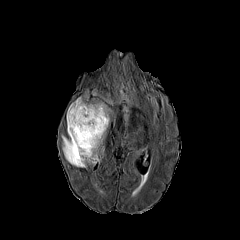
FLAIR MR image.
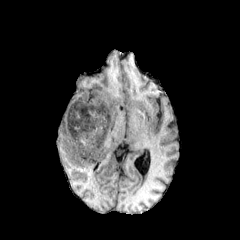
Same slice, T1-weighted MR.
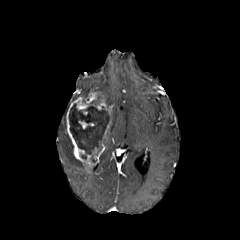
Same slice, post-contrast T1-weighted magnetic resonance.
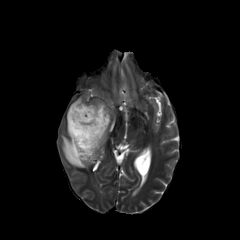
T2-weighted MR.
Axial plane. 240x240. Brain.
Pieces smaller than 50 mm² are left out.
The peritumoral edema is located at <bbox>62, 135, 86, 168</bbox>. The largest necrotic tumor core region is bounded by <bbox>69, 103, 109, 154</bbox>. 2 enhancing tumor regions are located at <bbox>66, 92, 112, 166</bbox>, <bbox>78, 120, 94, 128</bbox>.